Slice 103/155; Axial plane; Image width 240 mm, 1.00 mm slice spacing
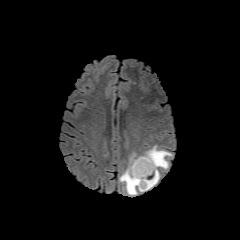
FLAIR MR.
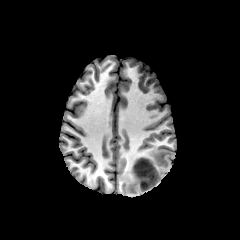
Same slice, T1-weighted MRI.
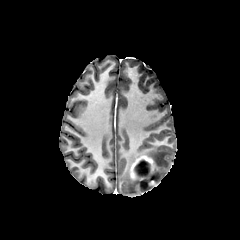
Post-contrast T1-weighted MR image.
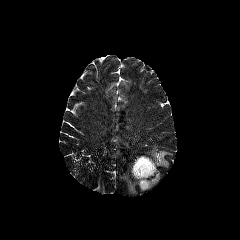
T2-weighted MR image.
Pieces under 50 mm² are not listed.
The necrotic tumor core is located at (134, 160, 149, 177). The largest enhancing tumor region appears at (130, 155, 156, 180). The peritumoral edema is bounded by (119, 145, 172, 195).